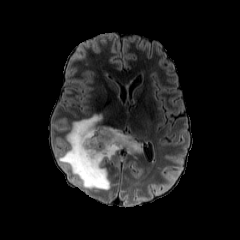
FLAIR magnetic resonance.
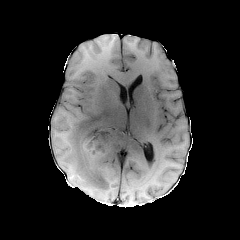
Same slice, T1-weighted MR.
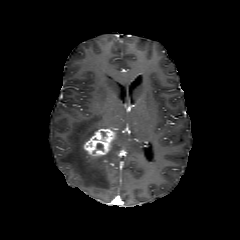
Same slice, post-contrast T1-weighted MR image.
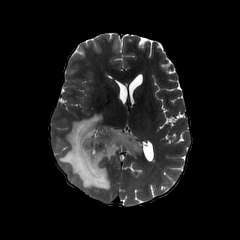
T2-weighted MR image.
Brain. Axial slice.
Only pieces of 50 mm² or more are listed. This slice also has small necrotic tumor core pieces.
The peritumoral edema is at (59,114,141,189). The enhancing tumor appears at (83,128,117,157).